FLAIR magnetic resonance.
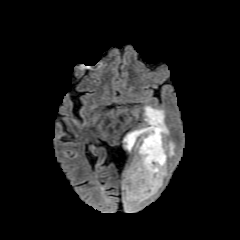
T1-weighted MR.
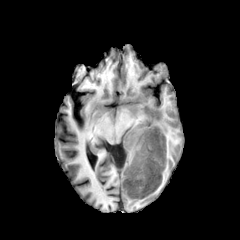
Post-contrast T1-weighted MR image.
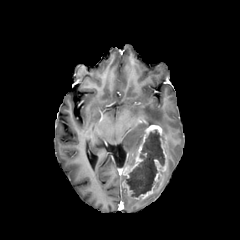
T2-weighted MR image.
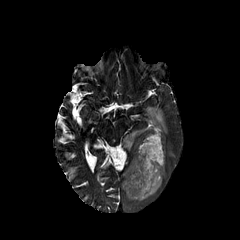
Brain
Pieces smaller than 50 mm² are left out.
* enhancing tumor: l=122, t=125, r=167, b=199
* peritumoral edema: l=122, t=186, r=157, b=211; l=166, t=142, r=174, b=156; l=123, t=106, r=168, b=152
* necrotic tumor core: l=127, t=130, r=164, b=197